Slice 29 of 155; Axial slice
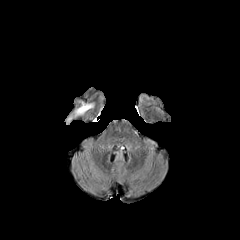
FLAIR magnetic resonance.
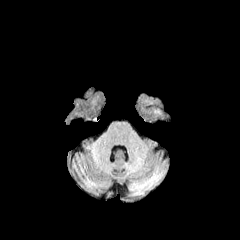
T1-weighted MR image.
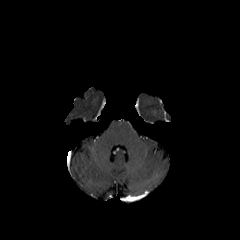
Post-contrast T1-weighted MR image.
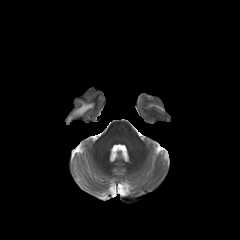
T2-weighted magnetic resonance.
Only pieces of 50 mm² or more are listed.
The largest peritumoral edema region is located at bbox(75, 102, 93, 115).